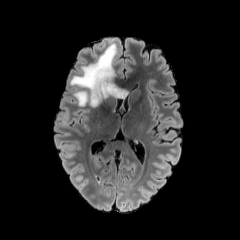
FLAIR MR image.
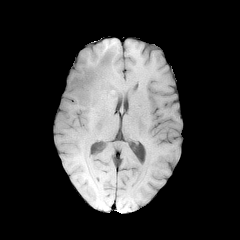
Same slice, T1-weighted magnetic resonance.
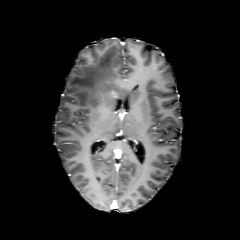
Same slice, post-contrast T1-weighted magnetic resonance.
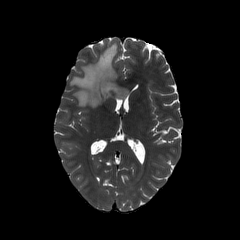
T2-weighted MR image of the same slice.
Brain, Axial slice
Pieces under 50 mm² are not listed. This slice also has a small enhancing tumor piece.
<segmentation>
  <peritumoral_edema>69:44:127:107</peritumoral_edema>
</segmentation>